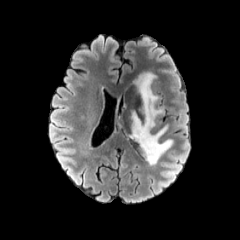
FLAIR MR.
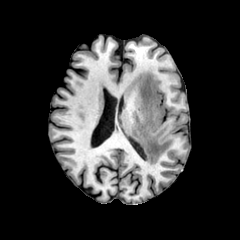
T1-weighted MR of the same slice.
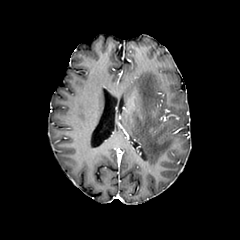
Post-contrast T1-weighted MR.
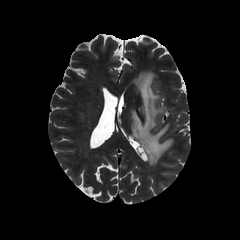
T2-weighted MRI.
Image size 240x240
The peritumoral edema lies within (left=131, top=72, right=173, bottom=165).